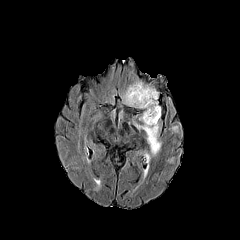
FLAIR MRI.
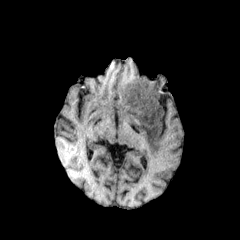
T1-weighted magnetic resonance.
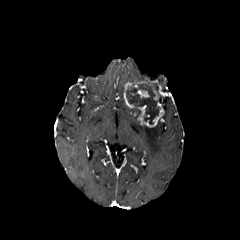
Post-contrast T1-weighted MR.
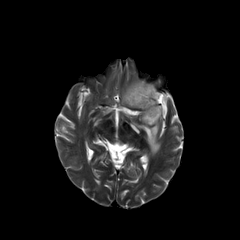
T2-weighted MR.
Image size 240x240. Axial plane.
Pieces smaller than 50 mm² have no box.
peritumoral_edema:
  - region(134, 122, 161, 155)
enhancing_tumor:
  - region(137, 102, 163, 127)
  - region(137, 89, 149, 97)
  - region(123, 81, 147, 108)
  - region(153, 90, 161, 100)
necrotic_tumor_core:
  - region(126, 83, 159, 124)